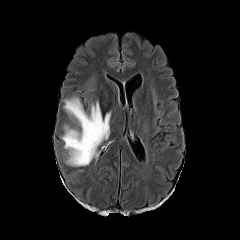
FLAIR MRI.
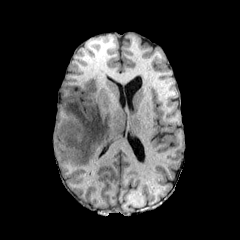
T1-weighted MRI.
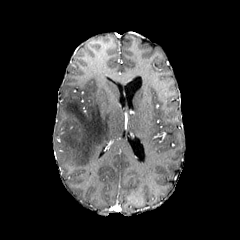
Same slice, post-contrast T1-weighted MRI.
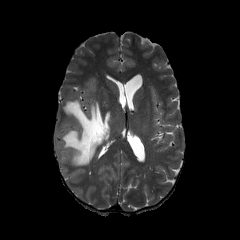
T2-weighted MR image of the same slice.
Image size 240x240 | Axial view
Annotated regions:
• peritumoral edema: (62, 97, 111, 167)